Head
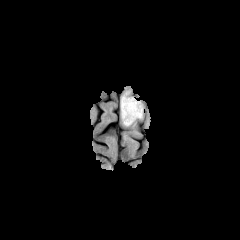
FLAIR MRI.
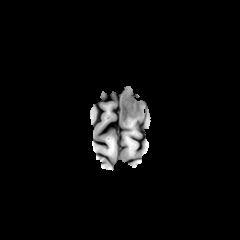
T1-weighted MR.
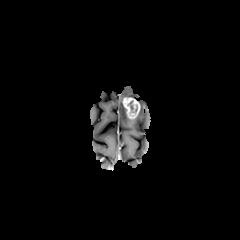
Post-contrast T1-weighted MR image.
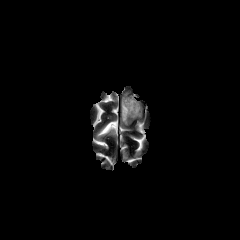
T2-weighted MR image.
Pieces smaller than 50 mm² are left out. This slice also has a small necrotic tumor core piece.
Annotated regions:
• peritumoral edema: (120, 91, 142, 126)
• enhancing tumor: (122, 97, 140, 118)